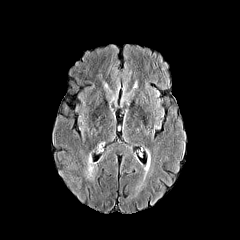
FLAIR MR image.
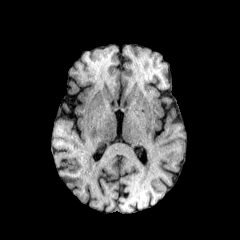
T1-weighted magnetic resonance of the same slice.
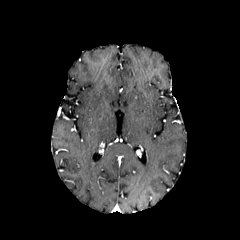
Post-contrast T1-weighted MR.
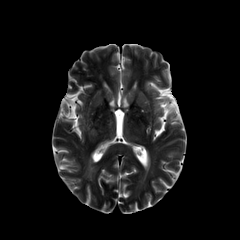
Same slice, T2-weighted magnetic resonance.
Axial slice
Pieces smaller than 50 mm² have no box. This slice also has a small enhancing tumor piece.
<segmentation>
  <peritumoral_edema>x1=85, y1=161, x2=96, y2=180</peritumoral_edema>
</segmentation>